Image size 240x240 | Axial plane | Head
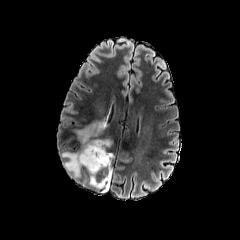
FLAIR MR.
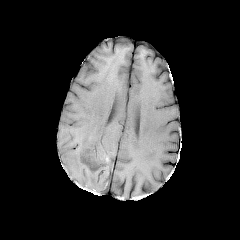
T1-weighted MR image of the same slice.
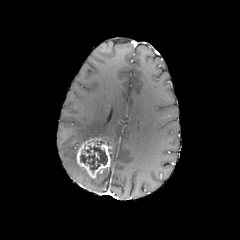
Post-contrast T1-weighted MR image of the same slice.
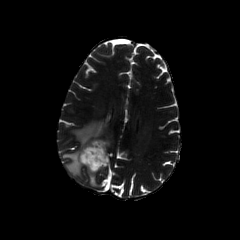
Same slice, T2-weighted magnetic resonance.
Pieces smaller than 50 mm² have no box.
Segmented structures:
• enhancing tumor: 76,137,112,178
• peritumoral edema: 90,167,111,188; 62,151,81,177; 75,122,105,143
• necrotic tumor core: 80,146,107,172